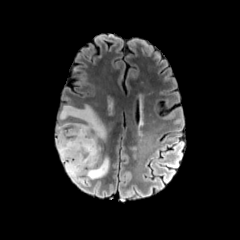
FLAIR MRI.
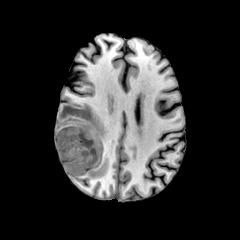
Same slice, T1-weighted magnetic resonance.
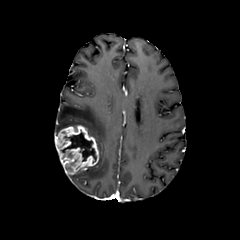
Post-contrast T1-weighted MR image.
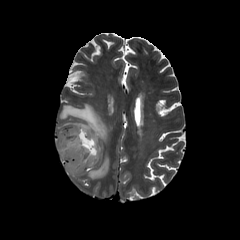
T2-weighted magnetic resonance.
240x240 px, Axial slice, Head
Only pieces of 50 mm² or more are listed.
{
  "peritumoral_edema": [
    "l=56, t=104, r=109, b=179"
  ],
  "necrotic_tumor_core": [
    "l=61, t=132, r=96, b=161"
  ],
  "enhancing_tumor": [
    "l=55, t=125, r=99, b=174"
  ]
}